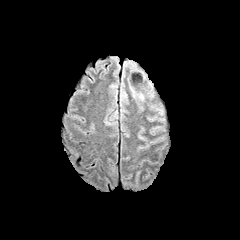
FLAIR MR.
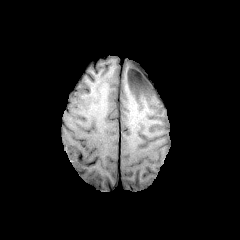
T1-weighted MR.
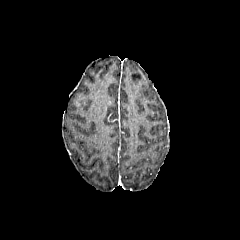
Post-contrast T1-weighted MR.
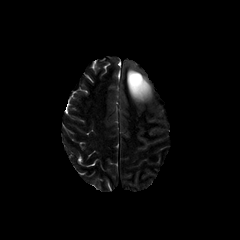
T2-weighted MRI.
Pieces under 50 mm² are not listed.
The largest necrotic tumor core region lies within <box>131,73,141,84</box>. The enhancing tumor lies within <box>127,70,147,92</box>. The largest peritumoral edema region is at <box>130,83,152,100</box>.